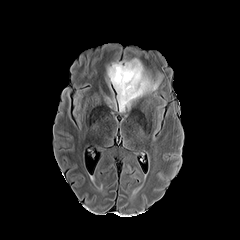
FLAIR MRI.
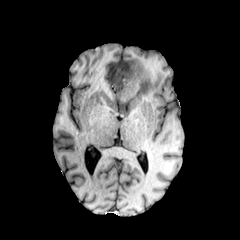
T1-weighted magnetic resonance.
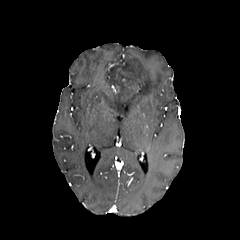
Same slice, post-contrast T1-weighted MR image.
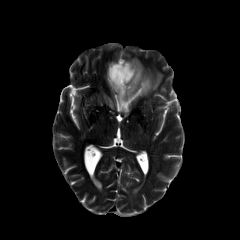
Same slice, T2-weighted MRI.
Image size 240x240, Brain
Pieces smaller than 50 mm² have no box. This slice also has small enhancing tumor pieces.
Segmented structures:
* necrotic tumor core: 111, 65, 124, 77
* peritumoral edema: 106, 57, 163, 114